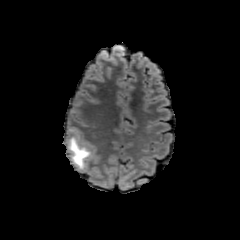
FLAIR MRI.
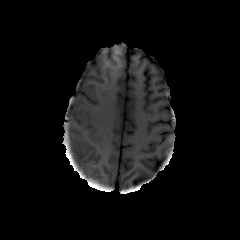
T1-weighted MR of the same slice.
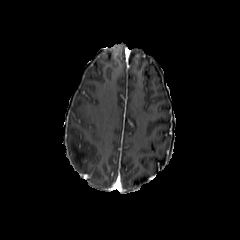
Post-contrast T1-weighted magnetic resonance.
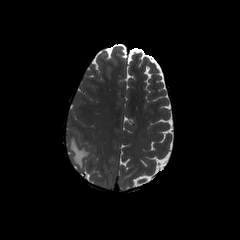
T2-weighted MR image.
Brain, Image size 240x240
peritumoral_edema:
  - (left=69, top=137, right=90, bottom=168)